FLAIR MR image.
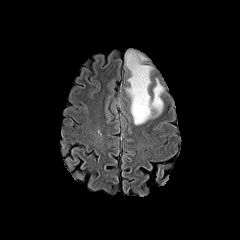
T1-weighted magnetic resonance.
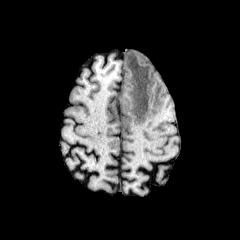
Post-contrast T1-weighted MRI.
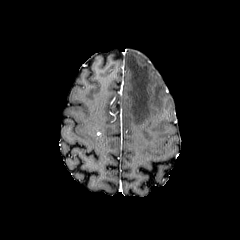
T2-weighted magnetic resonance.
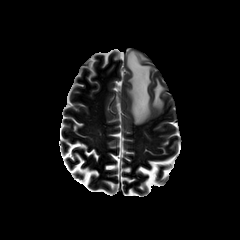
The peritumoral edema is located at box(125, 51, 163, 124).